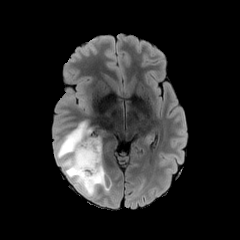
FLAIR MR.
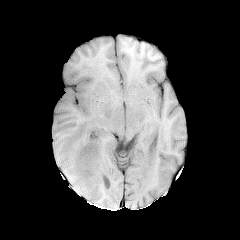
T1-weighted magnetic resonance.
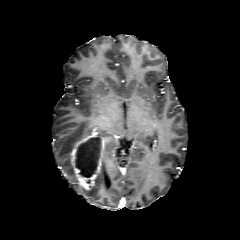
Post-contrast T1-weighted MR image of the same slice.
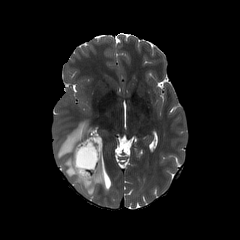
T2-weighted MR image.
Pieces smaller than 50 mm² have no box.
enhancing tumor at (left=70, top=135, right=104, bottom=191)
necrotic tumor core at (left=75, top=137, right=101, bottom=177)
peritumoral edema at (left=56, top=121, right=109, bottom=198)